FLAIR MR image.
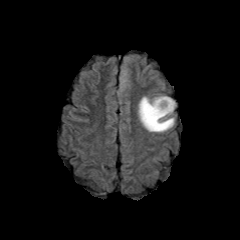
T1-weighted MR image.
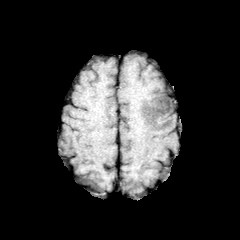
Post-contrast T1-weighted magnetic resonance.
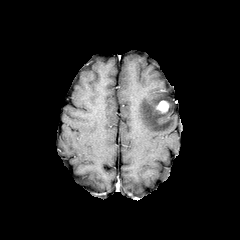
T2-weighted MRI.
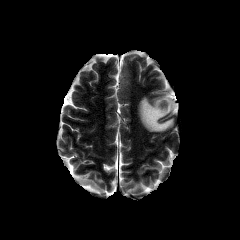
Axial slice, Head
The enhancing tumor appears at <bbox>156, 100, 169, 113</bbox>. The peritumoral edema lies within <bbox>138, 95, 175, 132</bbox>.